FLAIR magnetic resonance.
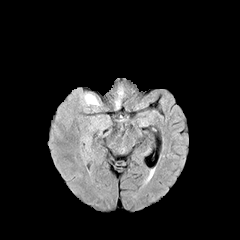
T1-weighted MR image.
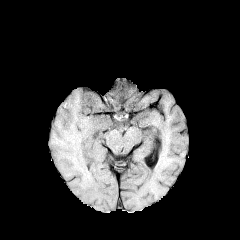
Post-contrast T1-weighted MR image.
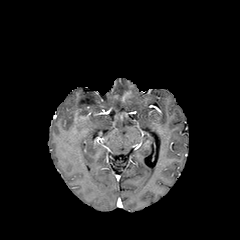
T2-weighted MR.
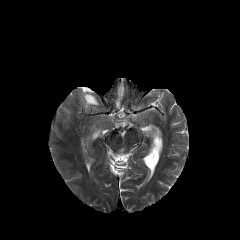
Axial slice, 240x240
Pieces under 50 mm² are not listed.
The largest peritumoral edema region is at [84, 94, 98, 105].